Slice 56 of 155; Head
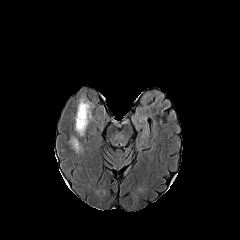
FLAIR MR image.
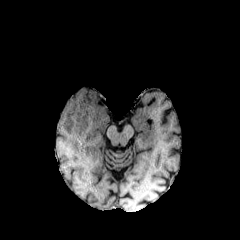
T1-weighted magnetic resonance of the same slice.
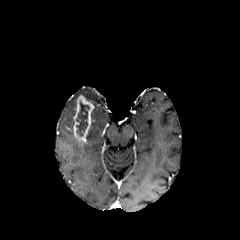
Post-contrast T1-weighted magnetic resonance of the same slice.
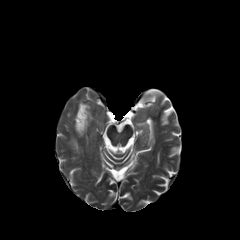
T2-weighted magnetic resonance of the same slice.
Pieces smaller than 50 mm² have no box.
peritumoral edema: 71 138 80 152 | necrotic tumor core: 76 102 89 136 | enhancing tumor: 73 95 94 141